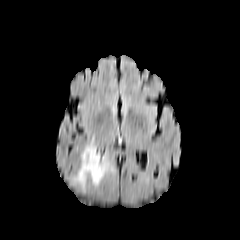
FLAIR MR image.
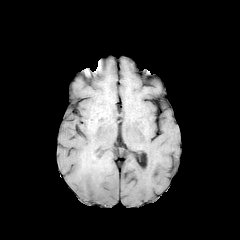
Same slice, T1-weighted MR image.
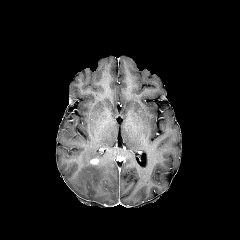
Same slice, post-contrast T1-weighted MRI.
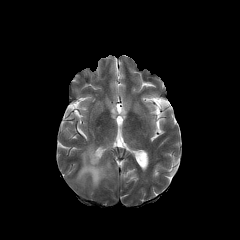
T2-weighted MR of the same slice.
Axial plane; Brain
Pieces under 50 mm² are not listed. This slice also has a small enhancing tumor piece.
peritumoral edema — (75,144,115,187)